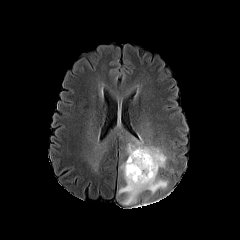
FLAIR MR image.
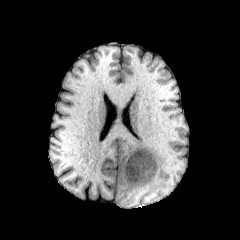
T1-weighted MRI.
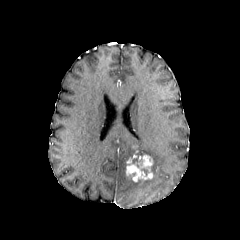
Post-contrast T1-weighted MR image.
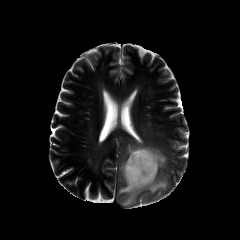
T2-weighted magnetic resonance.
Axial plane.
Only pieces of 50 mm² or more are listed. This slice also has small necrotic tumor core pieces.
{
  "peritumoral_edema": [
    "[118,137,167,205]"
  ],
  "enhancing_tumor": [
    "[126,150,153,183]"
  ]
}